Slice 86/155.
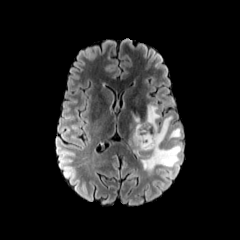
FLAIR MR.
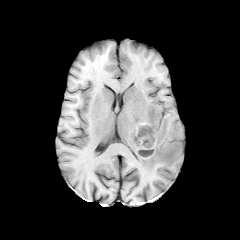
T1-weighted MR of the same slice.
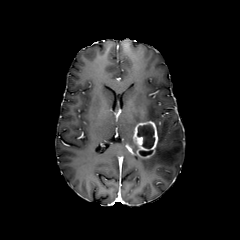
Post-contrast T1-weighted MR image.
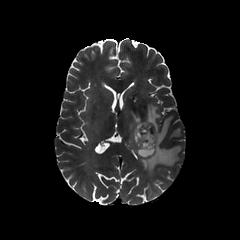
Same slice, T2-weighted magnetic resonance.
Annotated regions:
• necrotic tumor core: region(137, 123, 154, 156)
• peritumoral edema: region(127, 112, 140, 153); region(169, 127, 180, 138); region(137, 104, 181, 174)
• enhancing tumor: region(133, 121, 158, 158)